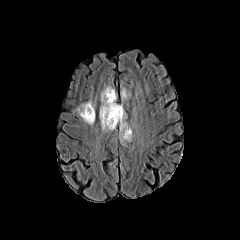
FLAIR MR image.
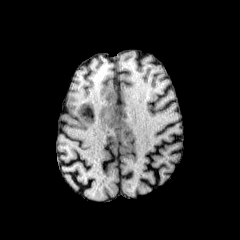
T1-weighted MR image.
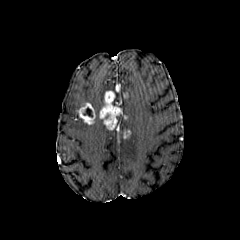
Post-contrast T1-weighted MRI.
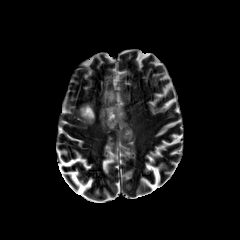
T2-weighted MR of the same slice.
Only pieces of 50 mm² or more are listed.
Findings:
* necrotic tumor core: bbox=[83, 107, 92, 117]
* peritumoral edema: bbox=[101, 86, 114, 105]; bbox=[119, 120, 132, 142]
* enhancing tumor: bbox=[99, 91, 127, 130]; bbox=[76, 103, 95, 124]; bbox=[124, 129, 130, 138]